FLAIR MR.
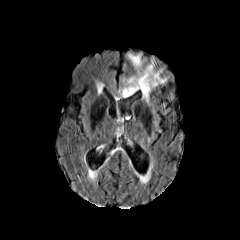
T1-weighted MR image.
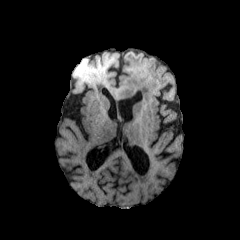
Post-contrast T1-weighted magnetic resonance.
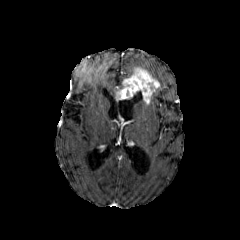
T2-weighted magnetic resonance.
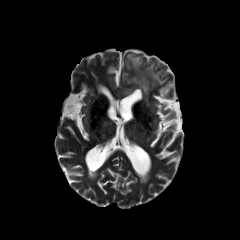
Axial view. Brain.
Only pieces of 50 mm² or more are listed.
<segmentation>
  <enhancing_tumor>l=116, t=67, r=159, b=103</enhancing_tumor>
  <peritumoral_edema>l=142, t=60, r=167, b=84; l=127, t=53, r=142, b=71</peritumoral_edema>
</segmentation>